Slice 68/155 | Image width 240 mm, 1.00 mm slice spacing
FLAIR MRI.
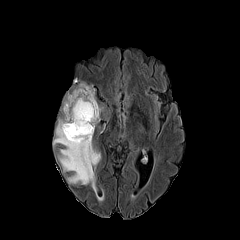
T1-weighted MR image.
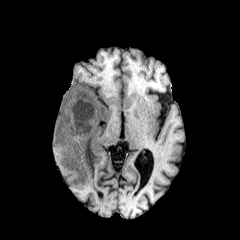
Post-contrast T1-weighted MR.
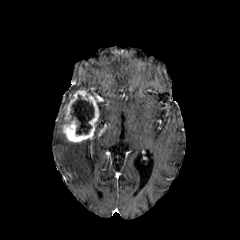
T2-weighted magnetic resonance.
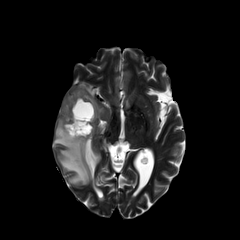
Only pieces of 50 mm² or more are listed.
<segmentation>
  <peritumoral_edema>53:119:100:194, 73:83:92:91</peritumoral_edema>
  <necrotic_tumor_core>70:94:94:134</necrotic_tumor_core>
  <enhancing_tumor>60:87:99:142</enhancing_tumor>
</segmentation>